Head. 240x240 px. Image width 240 mm.
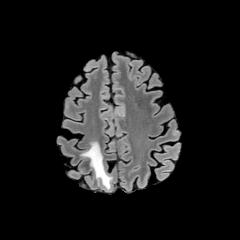
FLAIR MR.
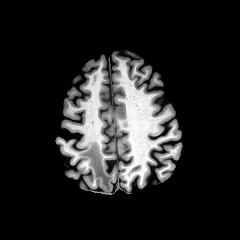
T1-weighted MR image.
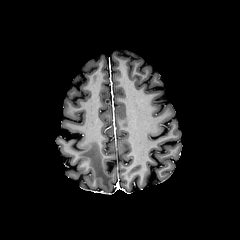
Post-contrast T1-weighted MRI of the same slice.
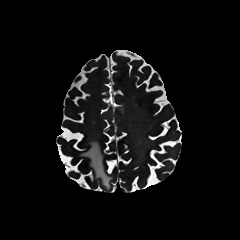
T2-weighted MRI of the same slice.
The peritumoral edema is at region(81, 141, 112, 188).